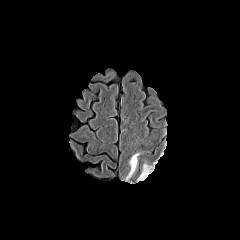
FLAIR magnetic resonance.
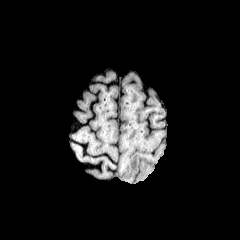
T1-weighted magnetic resonance of the same slice.
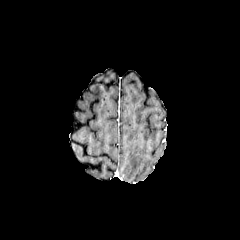
Post-contrast T1-weighted MR image.
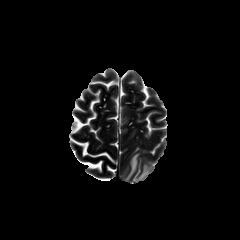
Same slice, T2-weighted MR.
Axial plane; Head
2 peritumoral edema regions are bounded by bbox=[125, 153, 139, 180]; bbox=[137, 164, 150, 180].